Brain; Image width 240 mm, 1.00 mm slice spacing; Axial view
FLAIR MR.
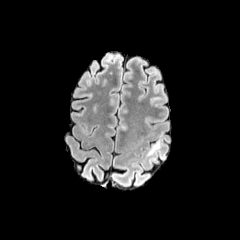
T1-weighted MRI.
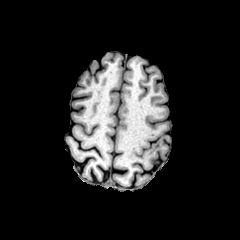
Post-contrast T1-weighted MR.
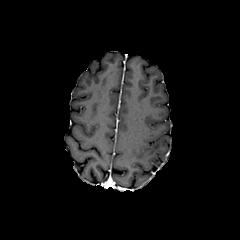
T2-weighted magnetic resonance.
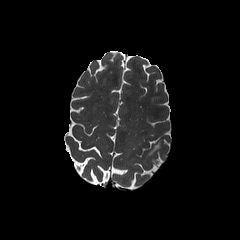
The peritumoral edema is at x1=148, y1=143, x2=159, y2=154.